FLAIR MR image.
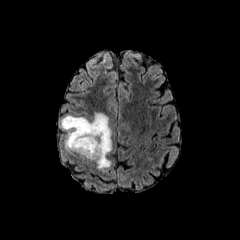
T1-weighted magnetic resonance.
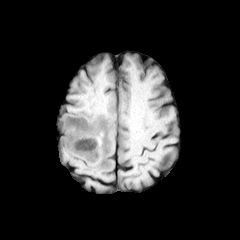
Post-contrast T1-weighted MR image.
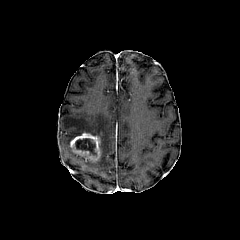
T2-weighted MR.
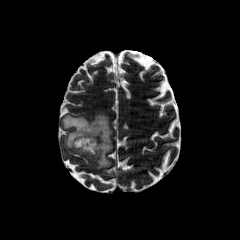
240x240; Head
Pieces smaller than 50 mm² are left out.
The largest peritumoral edema region is at x1=61, y1=113, x2=112, y2=169. The enhancing tumor is located at x1=70, y1=132, x2=101, y2=161. The necrotic tumor core is bounded by x1=75, y1=138, x2=96, y2=155.